240x240 px. Brain.
FLAIR magnetic resonance.
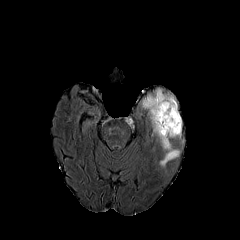
T1-weighted MR.
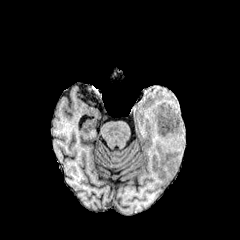
Post-contrast T1-weighted MR.
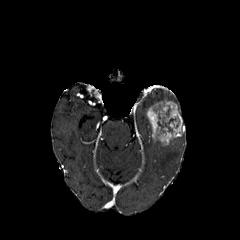
T2-weighted MR image.
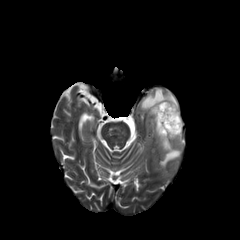
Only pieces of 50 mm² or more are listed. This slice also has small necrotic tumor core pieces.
The 2 largest peritumoral edema regions are located at 159:141:180:167, 141:88:177:110. The enhancing tumor lies within 147:101:182:145.